240x240; Slice 88 of 155; Image width 240 mm; Head
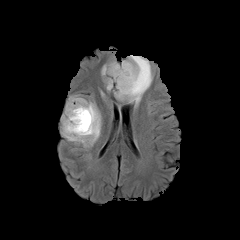
FLAIR MR image.
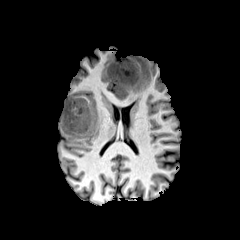
T1-weighted MR image of the same slice.
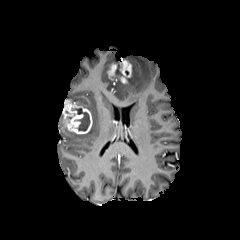
Same slice, post-contrast T1-weighted MR.
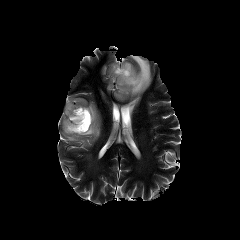
T2-weighted MR image.
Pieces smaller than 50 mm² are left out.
Segmented structures:
- peritumoral edema: [101, 55, 152, 105], [62, 96, 101, 147]
- enhancing tumor: [107, 63, 116, 77], [62, 99, 92, 134], [119, 60, 131, 83]
- necrotic tumor core: [72, 108, 89, 130], [111, 64, 122, 79]